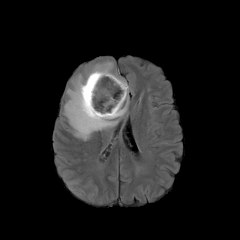
FLAIR MRI.
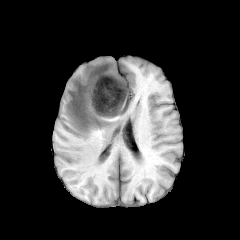
T1-weighted MR image of the same slice.
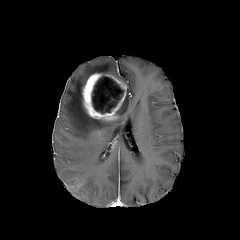
Post-contrast T1-weighted MR of the same slice.
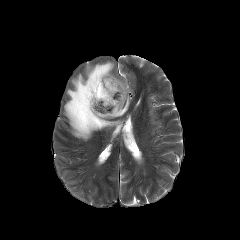
T2-weighted MR.
Axial slice, Image size 240x240
The necrotic tumor core lies within 92,76,123,113. The enhancing tumor is bounded by 82,73,127,120. The peritumoral edema is at 64,60,130,140.